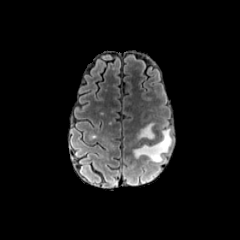
FLAIR MR.
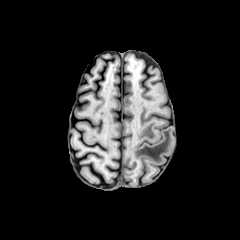
T1-weighted magnetic resonance.
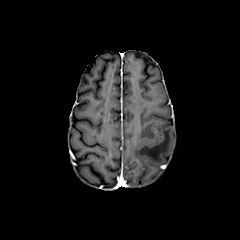
Post-contrast T1-weighted magnetic resonance.
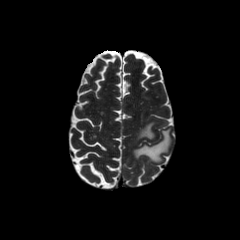
T2-weighted MR image.
Findings:
- peritumoral edema: 133:128:172:162, 137:122:155:139